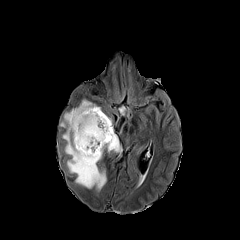
FLAIR magnetic resonance.
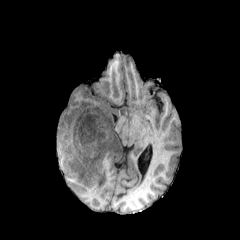
T1-weighted MR.
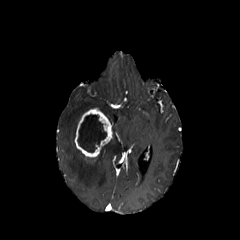
Post-contrast T1-weighted MR of the same slice.
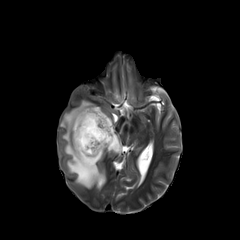
T2-weighted MR image.
Axial plane
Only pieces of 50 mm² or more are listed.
- peritumoral edema: region(60, 99, 121, 190)
- enhancing tumor: region(74, 107, 112, 158)
- necrotic tumor core: region(77, 114, 106, 152)